FLAIR MR.
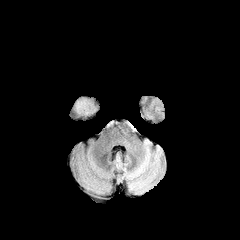
T1-weighted magnetic resonance.
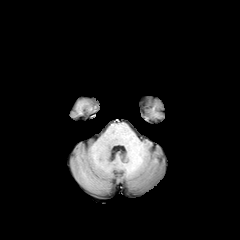
Post-contrast T1-weighted MR image.
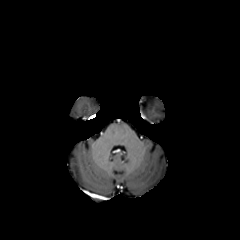
T2-weighted MR.
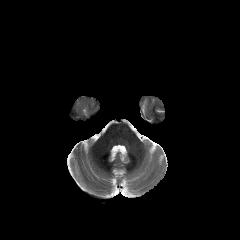
Brain
peritumoral edema: 71:96:98:116